FLAIR MR image.
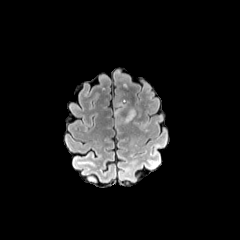
T1-weighted MR.
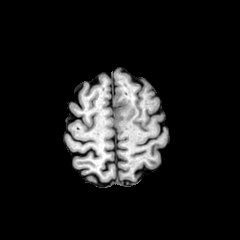
Post-contrast T1-weighted MRI.
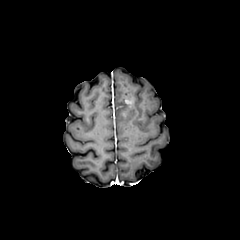
T2-weighted magnetic resonance.
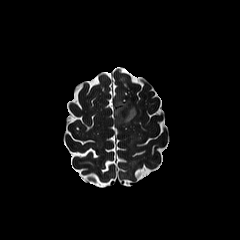
Head
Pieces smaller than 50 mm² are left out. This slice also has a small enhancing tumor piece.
The peritumoral edema lies within box=[114, 98, 136, 124].